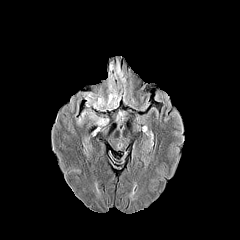
FLAIR MR image.
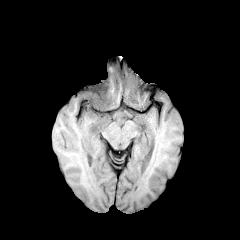
T1-weighted magnetic resonance.
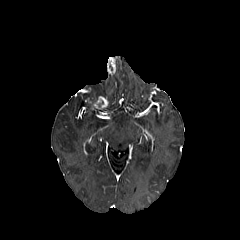
Same slice, post-contrast T1-weighted MR image.
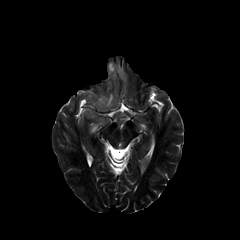
T2-weighted MR of the same slice.
Axial plane; Brain
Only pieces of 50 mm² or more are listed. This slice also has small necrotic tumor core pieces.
enhancing tumor — box=[87, 96, 108, 113]; box=[107, 57, 116, 74]
peritumoral edema — box=[86, 93, 95, 106]; box=[86, 112, 108, 126]; box=[109, 64, 125, 89]; box=[103, 91, 118, 109]